FLAIR MR image.
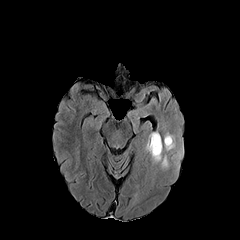
T1-weighted magnetic resonance.
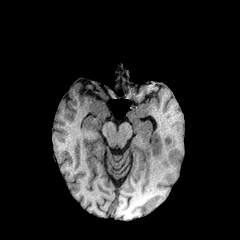
Post-contrast T1-weighted MR.
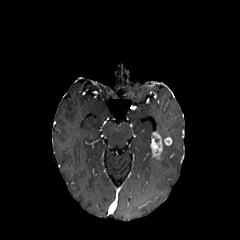
T2-weighted magnetic resonance.
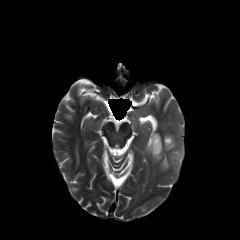
Brain, 240x240
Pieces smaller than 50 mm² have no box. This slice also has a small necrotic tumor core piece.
{
  "peritumoral_edema": [
    "x1=152 y1=151 x2=168 y2=168",
    "x1=164 y1=133 x2=175 y2=151",
    "x1=174 y1=150 x2=182 y2=160",
    "x1=145 y1=134 x2=151 y2=154"
  ],
  "enhancing_tumor": [
    "x1=150 y1=132 x2=162 y2=159",
    "x1=164 y1=137 x2=171 y2=145"
  ]
}